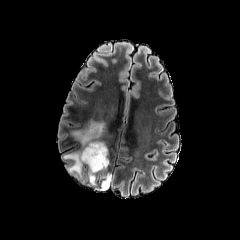
FLAIR MRI.
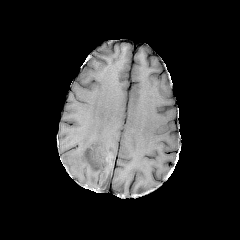
T1-weighted MRI of the same slice.
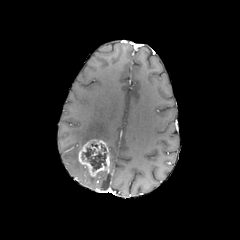
Post-contrast T1-weighted magnetic resonance.
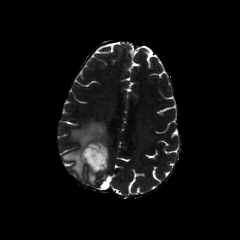
T2-weighted magnetic resonance.
240x240 px; Head
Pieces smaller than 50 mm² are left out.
enhancing tumor at (78, 139, 109, 177)
peritumoral edema at (102, 176, 110, 188), (72, 121, 108, 146), (63, 151, 83, 177)
necrotic tumor core at (81, 148, 106, 171)